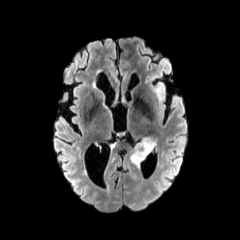
FLAIR MRI.
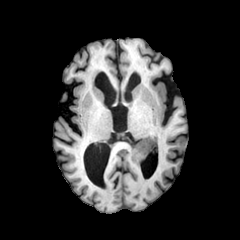
T1-weighted MR.
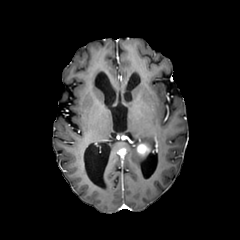
Post-contrast T1-weighted MRI.
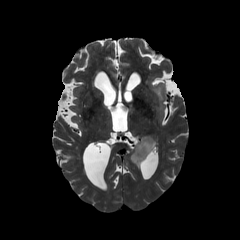
Same slice, T2-weighted MRI.
Brain
The enhancing tumor appears at rect(137, 143, 150, 155). The peritumoral edema lies within rect(130, 137, 156, 167).